Axial plane. Head. Slice index 98. Image covers 240 mm x 240 mm.
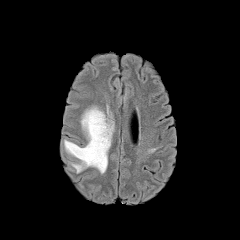
FLAIR MR.
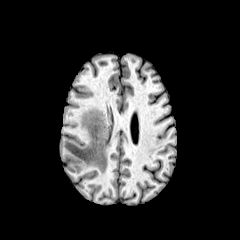
T1-weighted MRI.
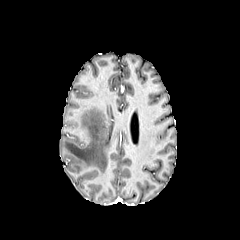
Post-contrast T1-weighted MR image.
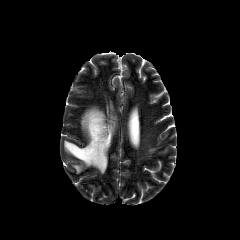
T2-weighted MR.
The peritumoral edema appears at (x1=64, y1=107, x2=113, y2=173).